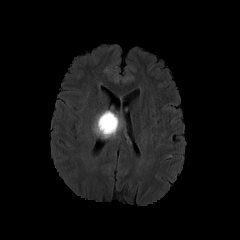
FLAIR MR.
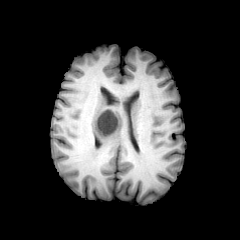
T1-weighted magnetic resonance of the same slice.
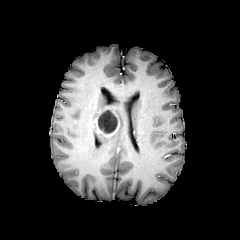
Post-contrast T1-weighted MR.
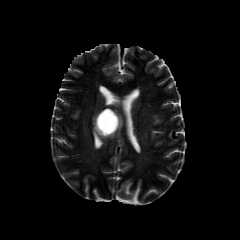
Same slice, T2-weighted magnetic resonance.
Axial slice
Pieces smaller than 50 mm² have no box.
Findings:
- peritumoral edema: (93,112,122,138)
- enhancing tumor: (94,115,119,136)
- necrotic tumor core: (98,110,117,133)